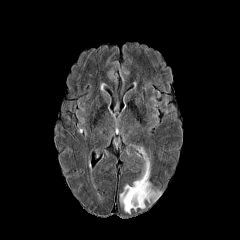
FLAIR MRI.
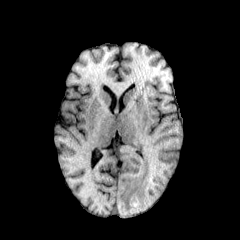
T1-weighted magnetic resonance.
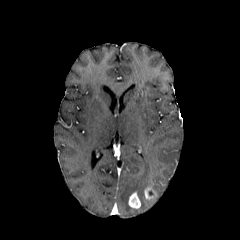
Post-contrast T1-weighted MRI.
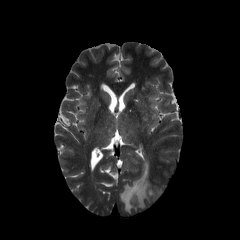
T2-weighted MR image.
Axial plane, Image size 240x240
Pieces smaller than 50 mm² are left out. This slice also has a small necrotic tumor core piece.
The largest peritumoral edema region is at x1=120 y1=145 x2=162 y2=213. 2 enhancing tumor regions appear at x1=128 y1=191 x2=140 y2=208, x1=144 y1=187 x2=156 y2=199.